Brain. Axial slice.
FLAIR MRI.
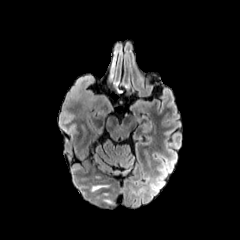
T1-weighted MRI.
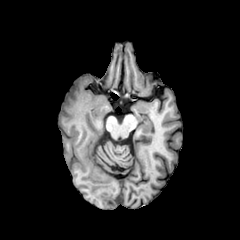
Post-contrast T1-weighted magnetic resonance.
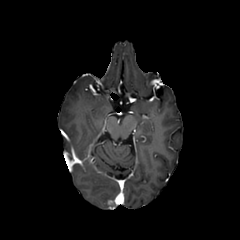
T2-weighted MR image.
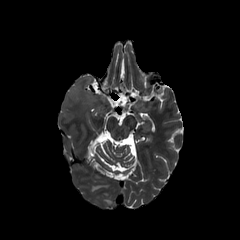
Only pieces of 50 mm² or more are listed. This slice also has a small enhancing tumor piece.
peritumoral edema = left=91, top=185, right=108, bottom=191; left=70, top=77, right=89, bottom=100